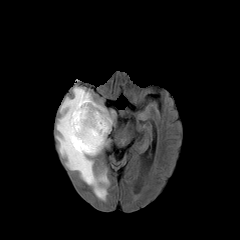
FLAIR magnetic resonance.
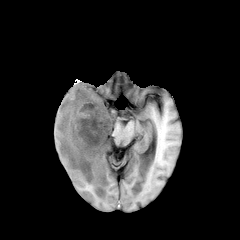
Same slice, T1-weighted MRI.
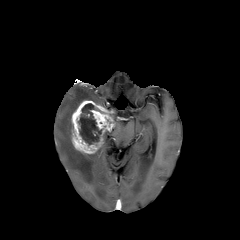
Post-contrast T1-weighted MR image.
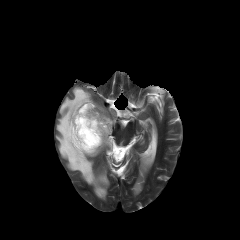
T2-weighted magnetic resonance of the same slice.
240x240; Head
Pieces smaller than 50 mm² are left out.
Findings:
• enhancing tumor: box=[71, 100, 114, 154]
• peritumoral edema: box=[56, 86, 109, 199]
• necrotic tumor core: box=[78, 103, 101, 144]